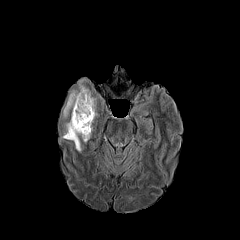
FLAIR MR.
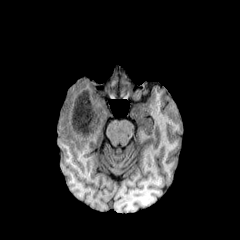
T1-weighted MR image of the same slice.
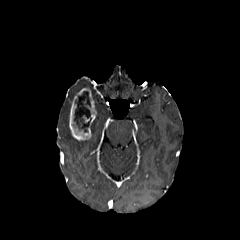
Post-contrast T1-weighted MR.
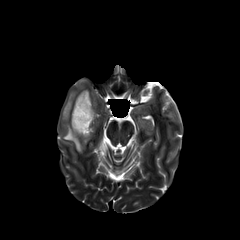
T2-weighted MRI of the same slice.
Axial plane
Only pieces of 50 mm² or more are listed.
- enhancing tumor: box=[69, 88, 96, 140]
- necrotic tumor core: box=[74, 91, 91, 132]
- peritumoral edema: box=[62, 79, 86, 119]; box=[63, 123, 83, 152]